FLAIR MR image.
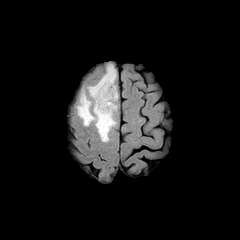
T1-weighted magnetic resonance.
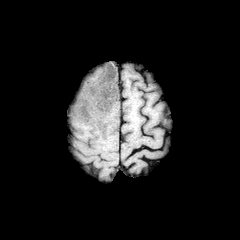
Post-contrast T1-weighted MR image.
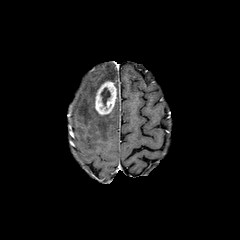
T2-weighted MR.
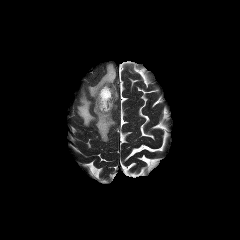
Brain
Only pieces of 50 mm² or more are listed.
peritumoral edema: {"x1": 77, "y1": 64, "x2": 117, "y2": 141} | necrotic tumor core: {"x1": 101, "y1": 88, "x2": 110, "y2": 105} | enhancing tumor: {"x1": 95, "y1": 81, "x2": 116, "y2": 115}